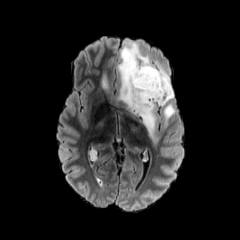
FLAIR MR.
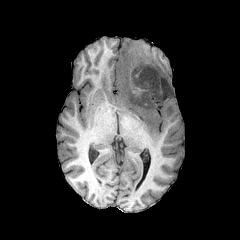
T1-weighted magnetic resonance.
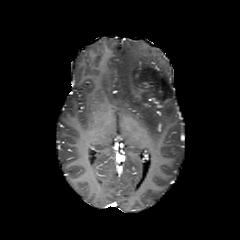
Same slice, post-contrast T1-weighted MR image.
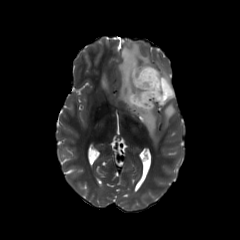
T2-weighted MR of the same slice.
Axial slice | 240x240
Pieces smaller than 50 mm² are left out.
enhancing tumor = bbox(148, 97, 163, 107); bbox(130, 73, 152, 99)
peritumoral edema = bbox(117, 40, 175, 140); bbox(101, 74, 108, 89)